Axial view. Slice 120 of 155. Head.
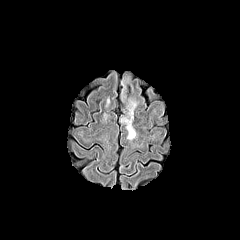
FLAIR MR.
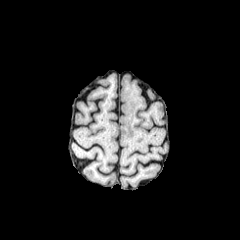
T1-weighted MR image.
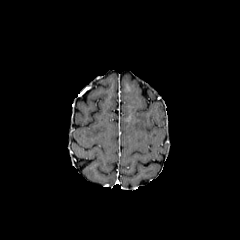
Post-contrast T1-weighted MR image of the same slice.
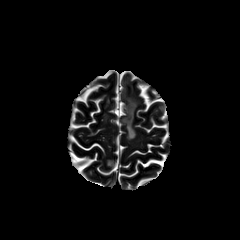
T2-weighted MR of the same slice.
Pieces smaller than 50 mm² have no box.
The largest peritumoral edema region lies within <bbox>120, 71, 137, 139</bbox>.